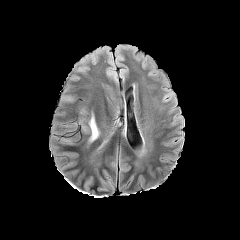
FLAIR MRI.
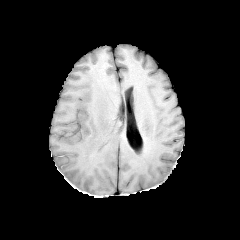
T1-weighted MR image of the same slice.
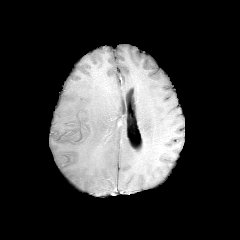
Same slice, post-contrast T1-weighted MR image.
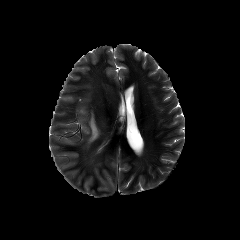
T2-weighted MRI.
Image size 240x240. Head.
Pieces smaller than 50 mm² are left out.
peritumoral edema: (x1=89, y1=114, x2=99, y2=142)